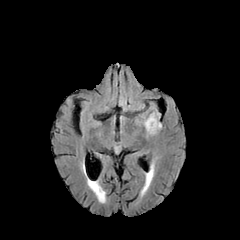
FLAIR MR image.
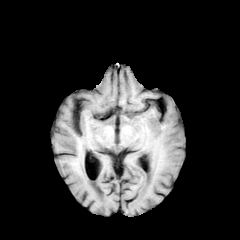
Same slice, T1-weighted MR image.
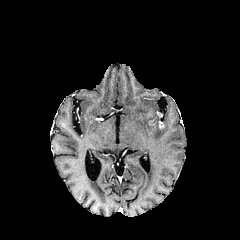
Post-contrast T1-weighted MRI.
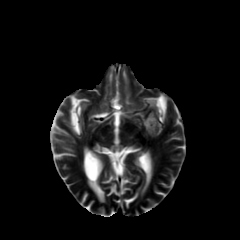
T2-weighted MR image of the same slice.
peritumoral edema: <box>144,115,161,131</box>